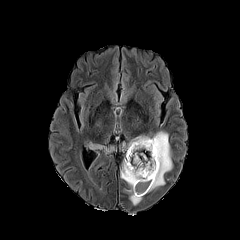
FLAIR MRI.
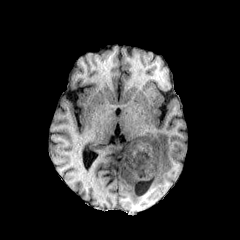
T1-weighted magnetic resonance.
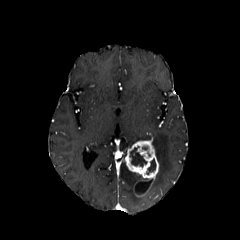
Same slice, post-contrast T1-weighted magnetic resonance.
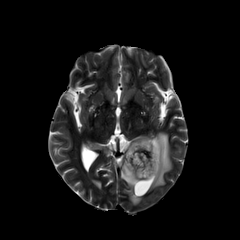
T2-weighted MR image.
Axial plane | Brain
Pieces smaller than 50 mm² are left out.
necrotic tumor core: bounding box [130, 147, 146, 166], [146, 159, 155, 174], [136, 179, 152, 194]
enhancing tumor: bounding box [124, 138, 159, 196]
peritumoral edema: bounding box [87, 143, 113, 151], [148, 131, 172, 191], [120, 161, 142, 205], [126, 136, 150, 148]